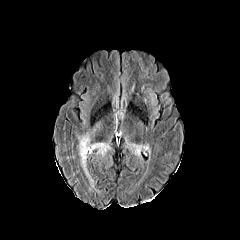
FLAIR magnetic resonance.
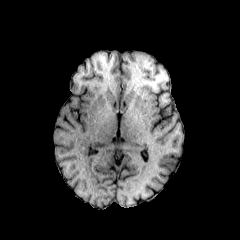
T1-weighted MRI of the same slice.
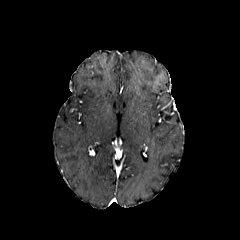
Same slice, post-contrast T1-weighted MR.
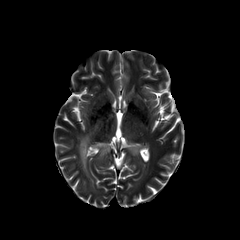
Same slice, T2-weighted MR.
<segmentation>
  <peritumoral_edema>[128,144,141,155], [78,122,99,175], [92,143,109,155]</peritumoral_edema>
</segmentation>